FLAIR MRI.
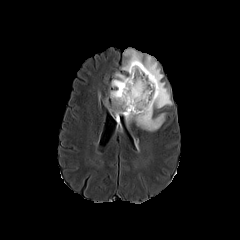
T1-weighted MRI.
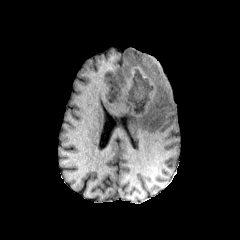
Post-contrast T1-weighted magnetic resonance.
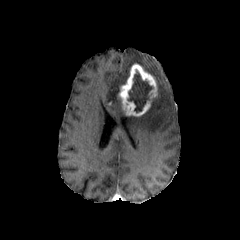
T2-weighted MRI.
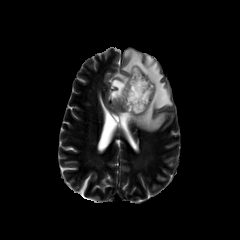
Head; Axial view
The necrotic tumor core lies within (x1=128, y1=72, x2=152, y2=112). The enhancing tumor appears at (x1=118, y1=63, x2=157, y2=116). 2 peritumoral edema regions are bounded by (x1=109, y1=72, x2=128, y2=116), (x1=121, y1=48, x2=172, y2=131).